Axial slice. Slice index 78. Image covers 240 mm x 240 mm.
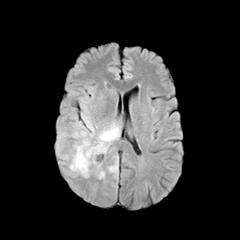
FLAIR magnetic resonance.
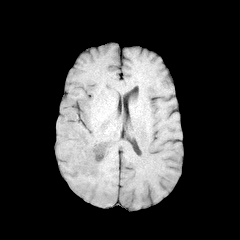
T1-weighted magnetic resonance.
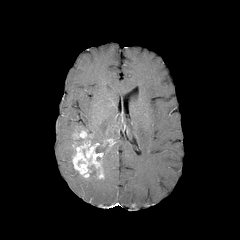
Same slice, post-contrast T1-weighted MRI.
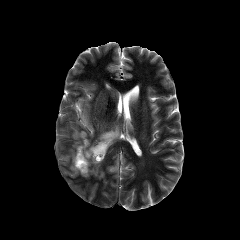
Same slice, T2-weighted MRI.
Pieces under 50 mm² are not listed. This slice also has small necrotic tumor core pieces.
Findings:
• peritumoral edema: (left=72, top=122, right=84, bottom=137), (left=95, top=144, right=109, bottom=153), (left=81, top=107, right=94, bottom=140), (left=108, top=162, right=117, bottom=172), (left=63, top=147, right=79, bottom=174), (left=91, top=122, right=120, bottom=144)
• enhancing tumor: (left=72, top=130, right=114, bottom=178)